Axial slice
FLAIR MRI.
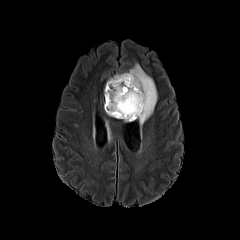
T1-weighted MR image.
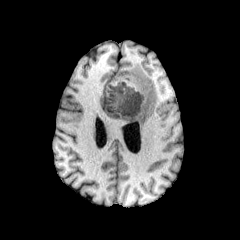
Post-contrast T1-weighted MRI.
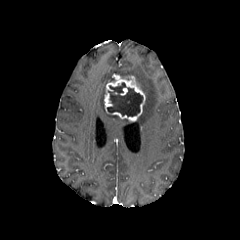
T2-weighted magnetic resonance.
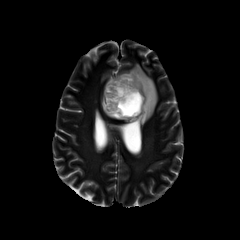
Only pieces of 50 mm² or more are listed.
necrotic tumor core: 107 82 142 116 | enhancing tumor: 105 74 145 121 | peritumoral edema: 117 63 157 126